FLAIR magnetic resonance.
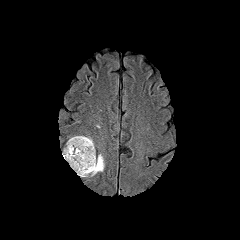
T1-weighted magnetic resonance.
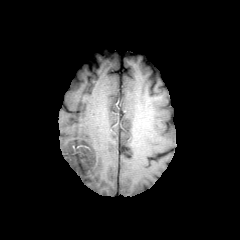
Post-contrast T1-weighted MR image.
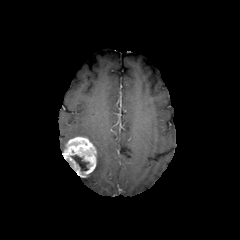
T2-weighted MR image.
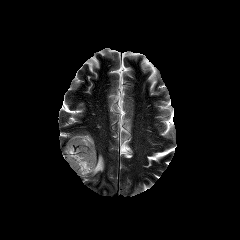
Axial view | Head
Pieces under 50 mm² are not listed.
<segmentation>
  <peritumoral_edema>[88, 154, 104, 176]</peritumoral_edema>
  <necrotic_tumor_core>[72, 155, 88, 170]</necrotic_tumor_core>
  <enhancing_tumor>[62, 136, 96, 177]</enhancing_tumor>
</segmentation>